240x240 px, Image covers 240 mm x 240 mm, Axial view
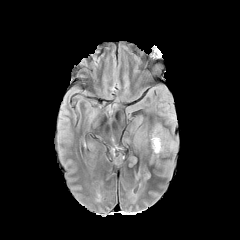
FLAIR MR image.
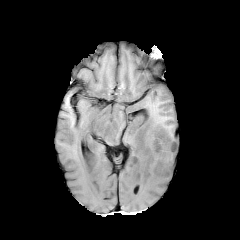
Same slice, T1-weighted MR.
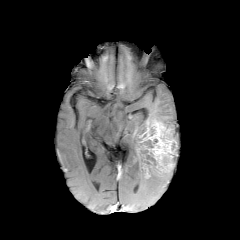
Post-contrast T1-weighted MRI of the same slice.
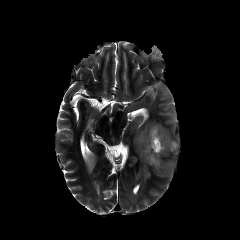
Same slice, T2-weighted MR.
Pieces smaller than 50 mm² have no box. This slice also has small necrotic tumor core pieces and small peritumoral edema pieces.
The enhancing tumor appears at (139,123,177,178).